FLAIR MR.
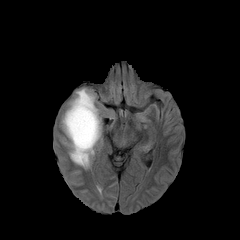
T1-weighted MR.
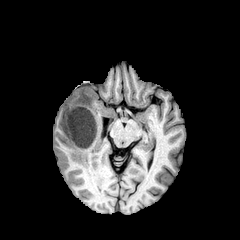
Post-contrast T1-weighted MRI.
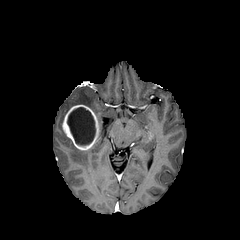
T2-weighted MRI.
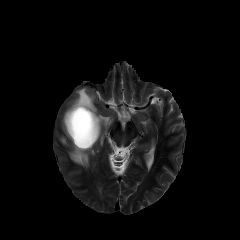
240x240 | Brain
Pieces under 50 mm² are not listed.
* enhancing tumor: (x1=62, y1=104, x2=99, y2=150)
* necrotic tumor core: (x1=67, y1=107, x2=95, y2=145)
* peritumoral edema: (x1=65, y1=141, x2=97, y2=168), (x1=69, y1=88, x2=101, y2=140)